240x240 | Slice 63 of 155 | Axial slice | Head
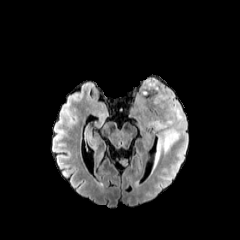
FLAIR MR image.
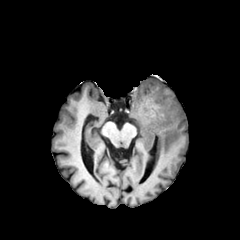
T1-weighted MRI of the same slice.
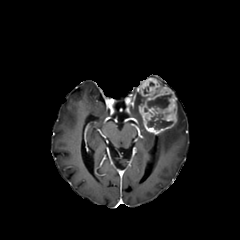
Post-contrast T1-weighted magnetic resonance.
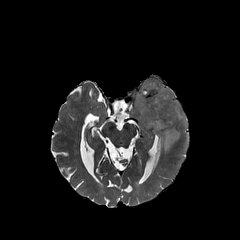
T2-weighted MR image.
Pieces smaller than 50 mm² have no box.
The 2 largest necrotic tumor core regions appear at rect(147, 114, 172, 128); rect(147, 94, 171, 108). The largest enhancing tumor region is at rect(138, 78, 177, 134). The 2 largest peritumoral edema regions appear at rect(156, 101, 186, 162); rect(136, 93, 146, 105).